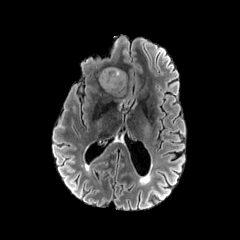
FLAIR MR.
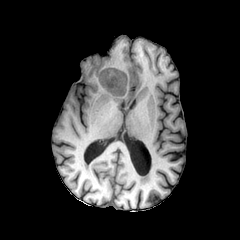
T1-weighted MRI.
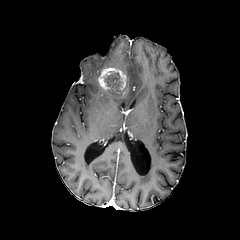
Post-contrast T1-weighted MR.
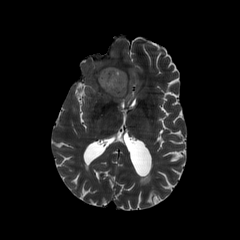
Same slice, T2-weighted MR image.
Axial plane
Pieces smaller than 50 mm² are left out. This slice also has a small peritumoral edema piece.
The largest enhancing tumor region is bounded by 98:67:126:93. The necrotic tumor core is bounded by 106:73:119:88.